FLAIR MR.
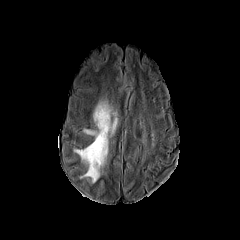
T1-weighted MRI.
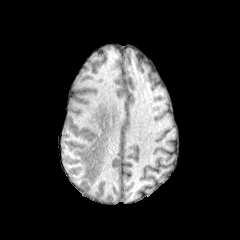
Post-contrast T1-weighted magnetic resonance.
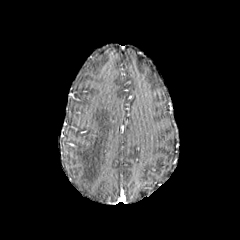
T2-weighted MRI.
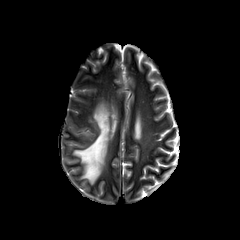
peritumoral edema: [x1=74, y1=102, x2=117, y2=182]